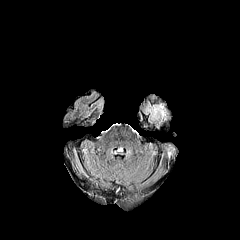
FLAIR MRI.
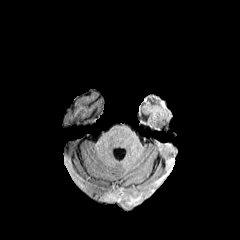
Same slice, T1-weighted magnetic resonance.
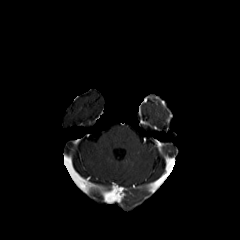
Post-contrast T1-weighted MR of the same slice.
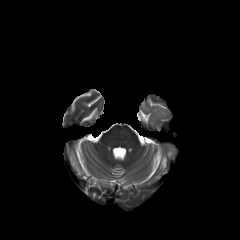
T2-weighted MRI of the same slice.
Brain.
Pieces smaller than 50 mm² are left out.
The largest peritumoral edema region is at 152, 107, 165, 116.